Head
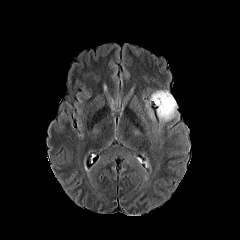
FLAIR MR image.
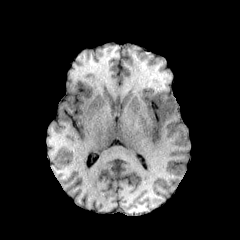
T1-weighted MR image.
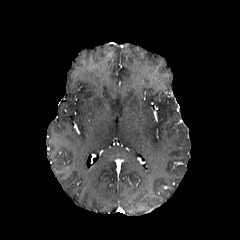
Post-contrast T1-weighted MR image of the same slice.
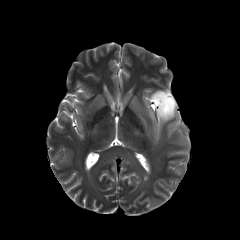
T2-weighted magnetic resonance of the same slice.
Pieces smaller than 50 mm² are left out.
{"peritumoral_edema": ["[150,90,177,121]"]}